Axial slice
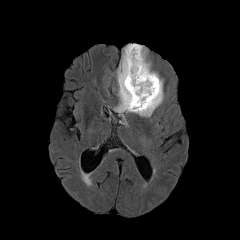
FLAIR MR image.
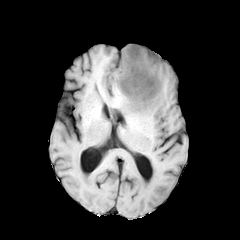
T1-weighted MR.
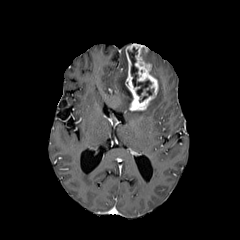
Same slice, post-contrast T1-weighted MRI.
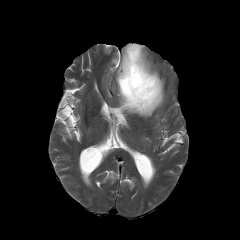
Same slice, T2-weighted MR image.
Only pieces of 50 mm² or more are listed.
{
  "necrotic_tumor_core": [
    "box=[139, 89, 153, 102]",
    "box=[127, 47, 151, 95]"
  ],
  "enhancing_tumor": [
    "box=[125, 43, 158, 110]"
  ],
  "peritumoral_edema": [
    "box=[115, 47, 163, 117]"
  ]
}